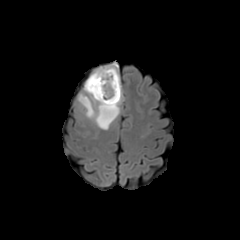
FLAIR magnetic resonance.
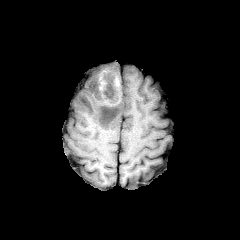
T1-weighted MR image.
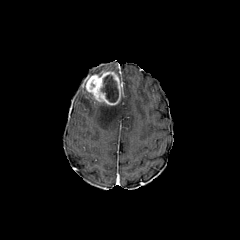
Same slice, post-contrast T1-weighted magnetic resonance.
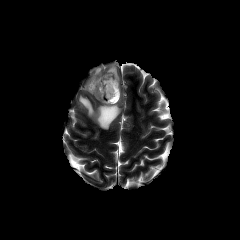
T2-weighted MR.
240x240; Brain; Axial plane
{"enhancing_tumor": ["[85,69,121,105]"], "necrotic_tumor_core": ["[101,75,118,102]"], "peritumoral_edema": ["[92,63,118,75]", "[78,88,122,129]"]}